Slice index 75.
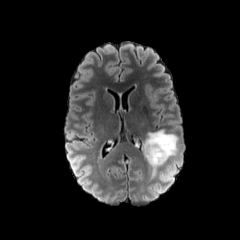
FLAIR magnetic resonance.
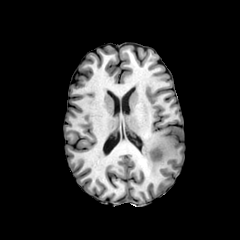
T1-weighted magnetic resonance of the same slice.
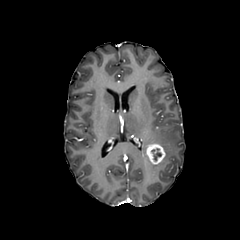
Post-contrast T1-weighted MRI.
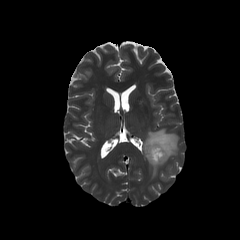
T2-weighted MRI.
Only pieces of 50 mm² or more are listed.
The largest enhancing tumor region appears at rect(146, 143, 165, 164). 2 peritumoral edema regions are located at rect(167, 169, 175, 178); rect(143, 129, 177, 174). The necrotic tumor core is at rect(151, 148, 161, 160).